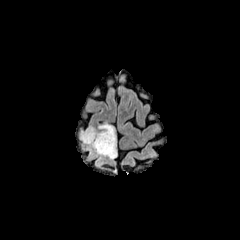
FLAIR magnetic resonance.
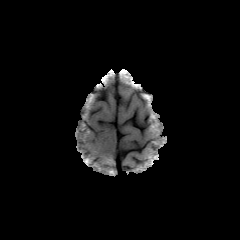
T1-weighted magnetic resonance.
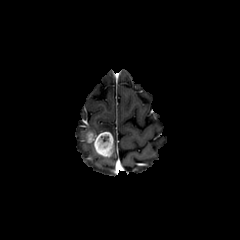
Post-contrast T1-weighted MR of the same slice.
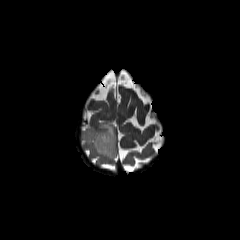
T2-weighted magnetic resonance of the same slice.
240x240 px, Axial view, Brain
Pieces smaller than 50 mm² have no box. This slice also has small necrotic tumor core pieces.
The enhancing tumor appears at 86, 132, 114, 156. The peritumoral edema is bounded by 80, 123, 116, 158.